Brain
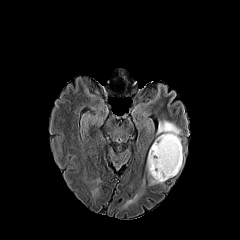
FLAIR MR image.
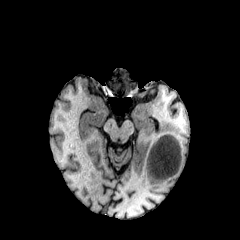
T1-weighted MRI of the same slice.
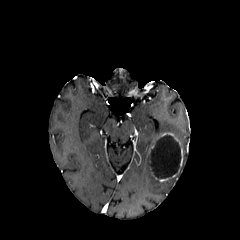
Post-contrast T1-weighted magnetic resonance.
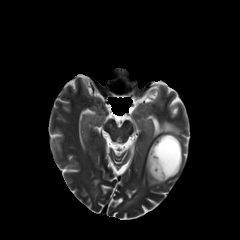
Same slice, T2-weighted MR.
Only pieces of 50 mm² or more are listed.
necrotic tumor core: 149, 135, 181, 178
peritumoral edema: 146, 155, 162, 185; 124, 194, 137, 206; 157, 121, 180, 141
enhancing tumor: 160, 132, 182, 167